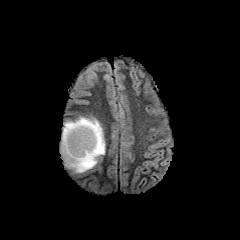
FLAIR MR.
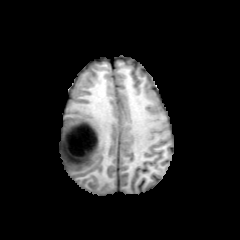
Same slice, T1-weighted MR image.
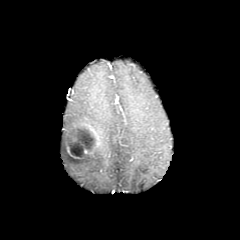
Post-contrast T1-weighted MR image.
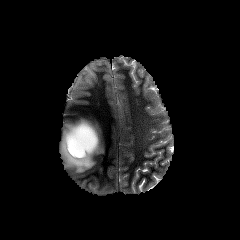
T2-weighted MR.
Brain
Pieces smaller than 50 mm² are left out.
necrotic tumor core = <bbox>66, 137, 84, 156</bbox>, <bbox>72, 126, 96, 152</bbox>
enhancing tumor = <bbox>63, 121, 100, 158</bbox>
peritumoral edema = <bbox>60, 116, 105, 173</bbox>